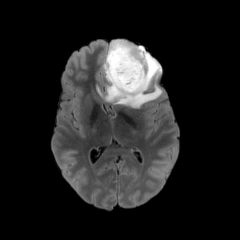
FLAIR MR image.
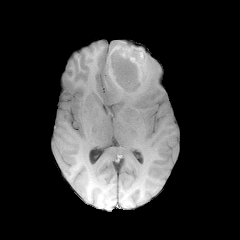
T1-weighted magnetic resonance of the same slice.
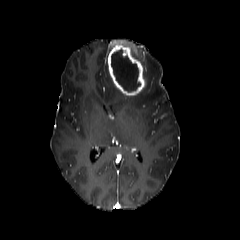
Post-contrast T1-weighted MRI of the same slice.
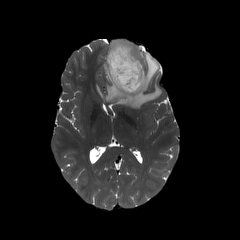
T2-weighted MR image of the same slice.
Axial slice; Brain
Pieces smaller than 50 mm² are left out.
Annotated regions:
- necrotic tumor core: bbox=[111, 49, 140, 91]
- peritumoral edema: bbox=[97, 45, 162, 108]
- enhancing tumor: bbox=[107, 40, 146, 96]